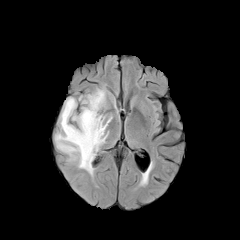
FLAIR MR.
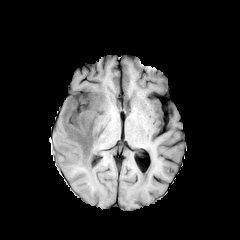
T1-weighted MRI of the same slice.
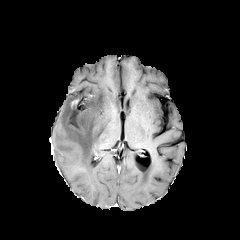
Same slice, post-contrast T1-weighted MR image.
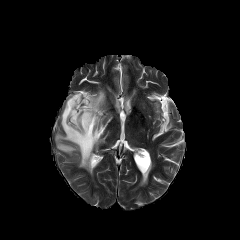
T2-weighted MR image of the same slice.
Axial slice. 240x240. Head.
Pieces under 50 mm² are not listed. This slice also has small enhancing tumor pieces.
peritumoral edema = (left=55, top=89, right=112, bottom=175)